Axial slice; Slice 94 of 155
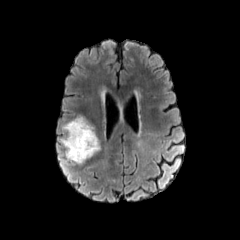
FLAIR MRI.
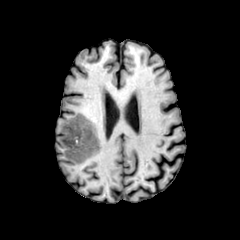
Same slice, T1-weighted MRI.
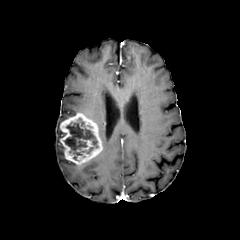
Post-contrast T1-weighted magnetic resonance.
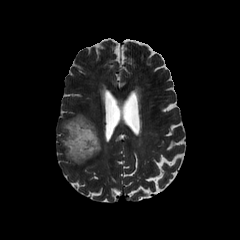
T2-weighted MR image of the same slice.
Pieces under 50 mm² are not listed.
necrotic tumor core = 64, 118, 98, 160
enhancing tumor = 59, 113, 102, 164; 77, 139, 93, 151